FLAIR MRI.
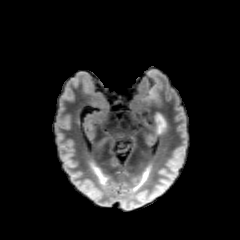
T1-weighted magnetic resonance.
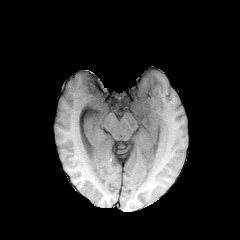
Post-contrast T1-weighted magnetic resonance.
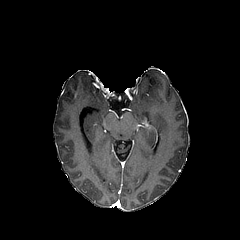
T2-weighted magnetic resonance.
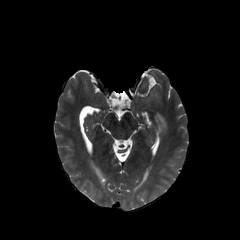
240x240 px | Brain
The peritumoral edema lies within (x1=154, y1=115, x2=165, y2=132).